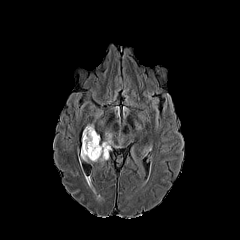
FLAIR MRI.
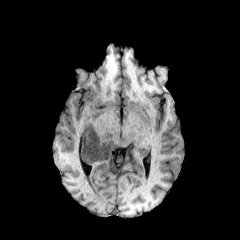
T1-weighted magnetic resonance.
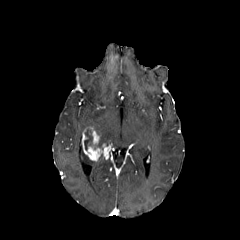
Post-contrast T1-weighted MR image of the same slice.
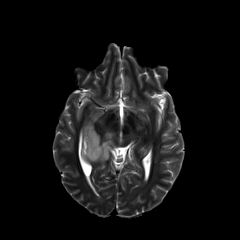
Same slice, T2-weighted magnetic resonance.
Brain, Image size 240x240
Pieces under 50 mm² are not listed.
necrotic tumor core: bounding box (left=84, top=129, right=92, bottom=150)
peritumoral edema: bounding box (left=103, top=132, right=112, bottom=144), (left=81, top=149, right=94, bottom=161)
enhancing tumor: bounding box (left=82, top=126, right=111, bottom=161)